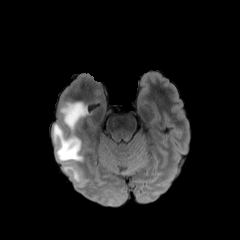
FLAIR MR image.
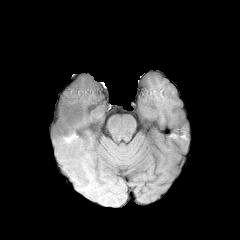
T1-weighted MRI.
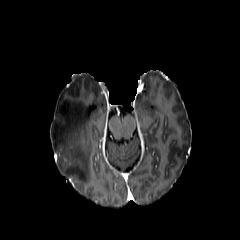
Same slice, post-contrast T1-weighted MR image.
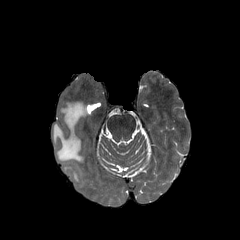
Same slice, T2-weighted MR.
240x240 px | Head | Axial slice
Segmented structures:
• peritumoral edema: (x1=52, y1=101, x2=87, y2=183)